FLAIR MR.
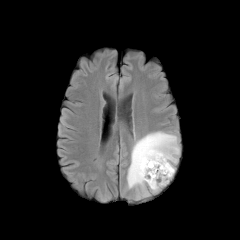
T1-weighted MR image.
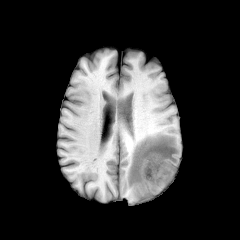
Post-contrast T1-weighted MRI.
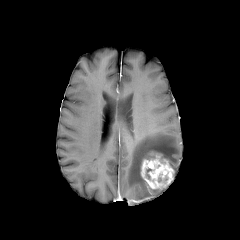
T2-weighted MR image.
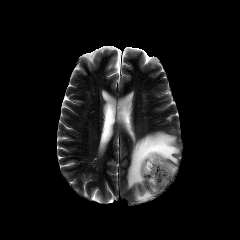
Axial view. 240x240 px.
The enhancing tumor is bounded by 141:152:174:189. The peritumoral edema appears at 127:131:179:200.